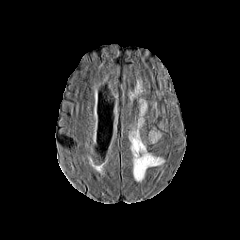
FLAIR magnetic resonance.
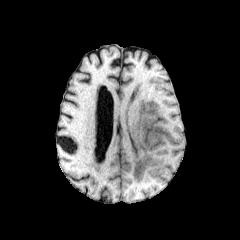
T1-weighted MR image.
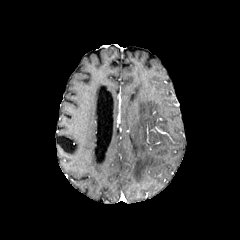
Post-contrast T1-weighted MR image.
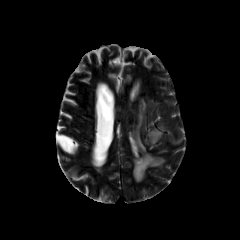
T2-weighted MR of the same slice.
240x240, Head, Axial slice
peritumoral edema: box=[151, 132, 160, 142]; box=[129, 99, 164, 181]